Head | Slice 31 of 155 | Axial slice | Image width 240 mm, 1.00 mm slice spacing
FLAIR MR.
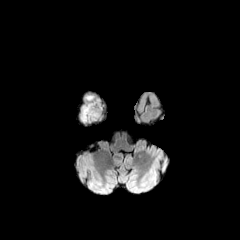
T1-weighted MRI.
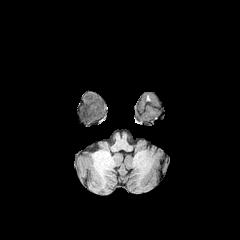
Post-contrast T1-weighted MRI.
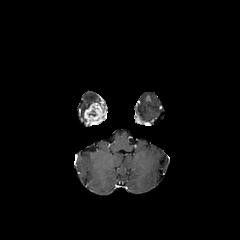
T2-weighted MR image.
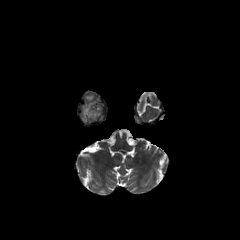
peritumoral edema: <bbox>80, 95, 105, 123</bbox> | necrotic tumor core: <bbox>87, 106, 98, 117</bbox> | enhancing tumor: <bbox>83, 102, 102, 124</bbox>